Axial slice | Brain | Slice index 69
FLAIR MR image.
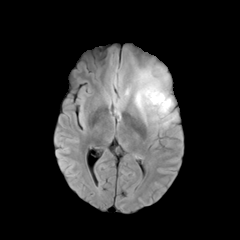
T1-weighted MRI.
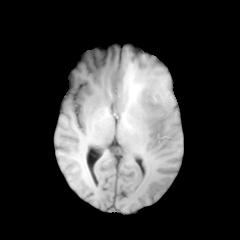
Post-contrast T1-weighted magnetic resonance.
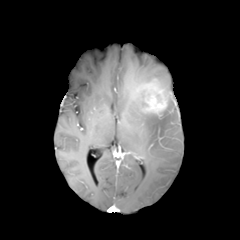
T2-weighted MR image.
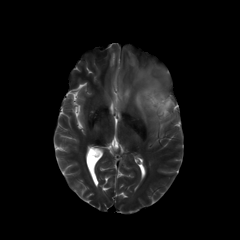
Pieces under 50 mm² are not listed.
peritumoral_edema:
  - region(135, 69, 175, 126)
enhancing_tumor:
  - region(144, 83, 167, 113)